Head, 240x240, Axial slice
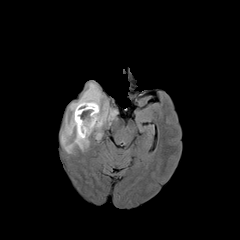
FLAIR MR image.
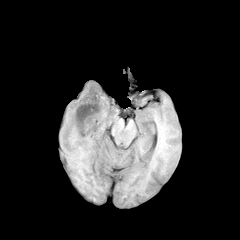
T1-weighted MR image.
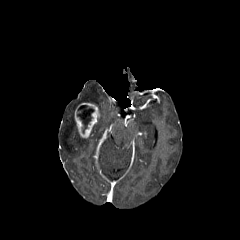
Post-contrast T1-weighted magnetic resonance of the same slice.
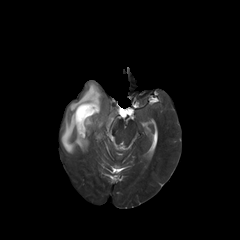
T2-weighted magnetic resonance of the same slice.
The necrotic tumor core appears at x1=77, y1=105, x2=94, y2=132. 2 peritumoral edema regions are bounded by x1=61, y1=82, x2=108, y2=153; x1=108, y1=110, x2=116, y2=124. The enhancing tumor is at x1=74, y1=102, x2=100, y2=137.